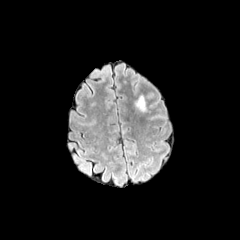
FLAIR MRI.
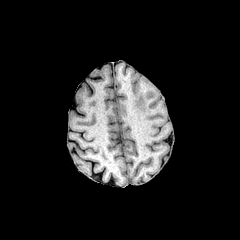
Same slice, T1-weighted MR.
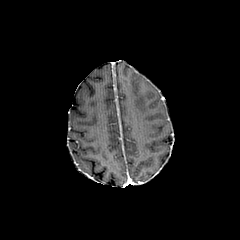
Post-contrast T1-weighted MRI of the same slice.
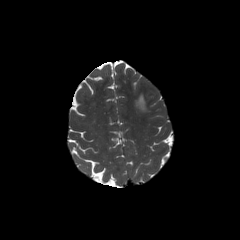
Same slice, T2-weighted MRI.
Head.
peritumoral edema: [136,96,145,111]